Brain.
FLAIR MR.
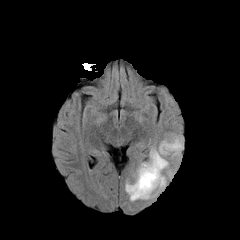
T1-weighted magnetic resonance.
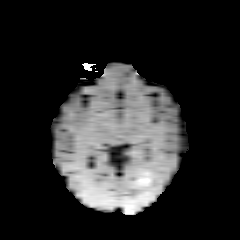
Post-contrast T1-weighted magnetic resonance.
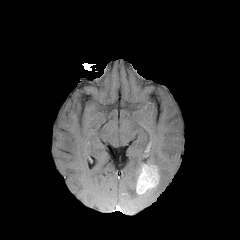
T2-weighted MR image.
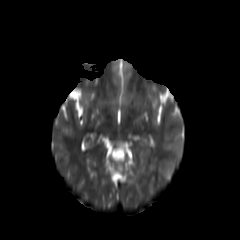
{"enhancing_tumor": ["box(136, 164, 159, 194)"], "peritumoral_edema": ["box(125, 133, 183, 201)"]}